Slice 88 of 155 | Head
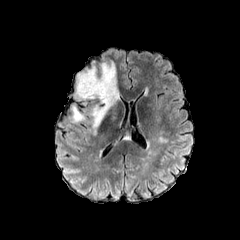
FLAIR MRI.
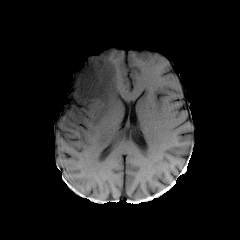
Same slice, T1-weighted MR.
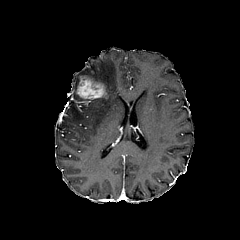
Post-contrast T1-weighted magnetic resonance.
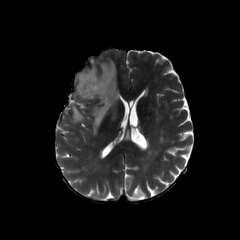
T2-weighted MRI of the same slice.
<segmentation>
  <peritumoral_edema>(x1=71, y1=104, x2=87, y2=123), (x1=74, y1=60, x2=119, y2=135), (x1=111, y1=107, x2=116, y2=118)</peritumoral_edema>
  <enhancing_tumor>(x1=76, y1=75, x2=108, y2=99)</enhancing_tumor>
</segmentation>